Image size 240x240; Axial slice
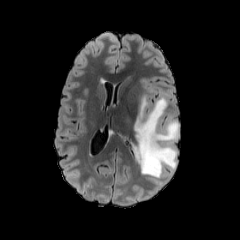
FLAIR magnetic resonance.
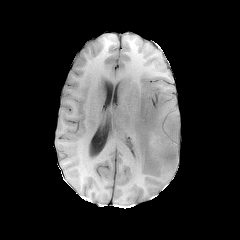
T1-weighted magnetic resonance.
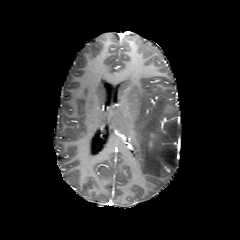
Post-contrast T1-weighted MR image of the same slice.
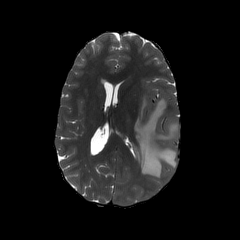
T2-weighted magnetic resonance.
The peritumoral edema is bounded by (134,96,178,178). The enhancing tumor appears at (148,132,156,150).